Head; Image width 240 mm, 1.00 mm slice spacing; Slice index 111; 240x240
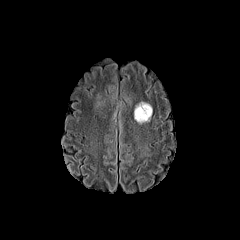
FLAIR magnetic resonance.
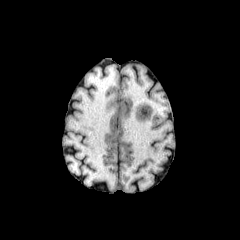
T1-weighted MR.
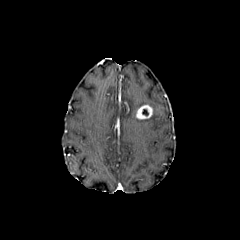
Post-contrast T1-weighted MR of the same slice.
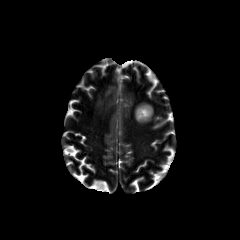
T2-weighted MRI.
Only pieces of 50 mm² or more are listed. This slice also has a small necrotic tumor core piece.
The enhancing tumor is located at 136, 105, 152, 119. The peritumoral edema is at 134, 102, 150, 123.